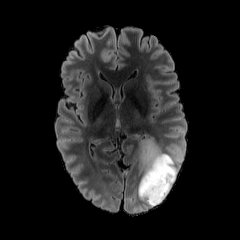
FLAIR MRI.
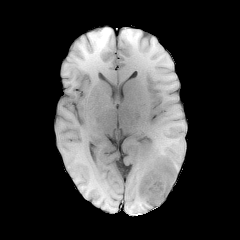
T1-weighted MR of the same slice.
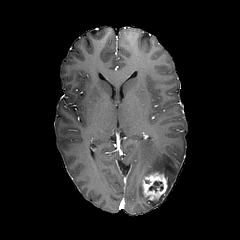
Same slice, post-contrast T1-weighted MR image.
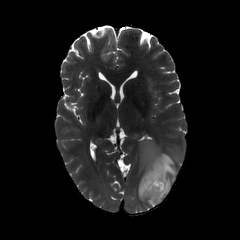
T2-weighted magnetic resonance.
240x240. Axial slice. Head.
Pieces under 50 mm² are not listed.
enhancing tumor: bounding box [142, 172, 167, 200]
necrotic tumor core: bounding box [149, 181, 161, 191]
peritumoral edema: bounding box [138, 139, 177, 206]